Head, Axial plane, Image size 240x240
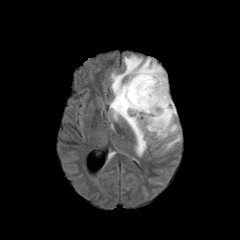
FLAIR MR image.
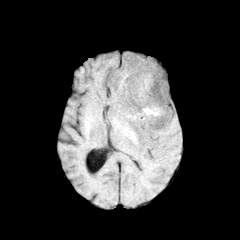
T1-weighted MRI of the same slice.
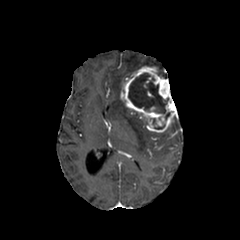
Same slice, post-contrast T1-weighted MR.
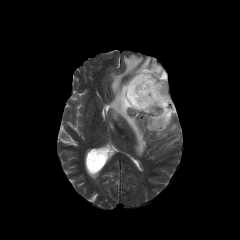
T2-weighted MRI.
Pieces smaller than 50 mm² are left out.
necrotic tumor core: box(128, 73, 168, 113) | peritumoral edema: box(156, 122, 177, 138); box(110, 55, 166, 156); box(166, 135, 180, 149) | enhancing tumor: box(120, 66, 177, 132)